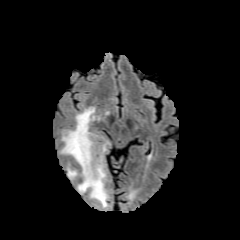
FLAIR MR image.
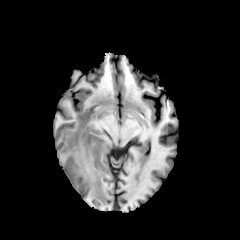
Same slice, T1-weighted magnetic resonance.
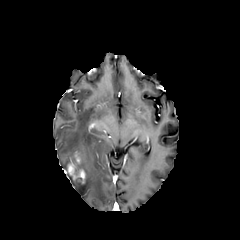
Post-contrast T1-weighted magnetic resonance.
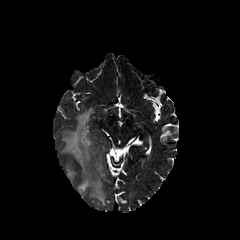
T2-weighted MR image.
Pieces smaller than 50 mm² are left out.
enhancing tumor at box(67, 162, 85, 184); box(74, 150, 81, 165)
peritumoral edema at box(60, 107, 108, 207)